FLAIR magnetic resonance.
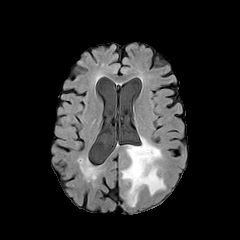
T1-weighted MR image.
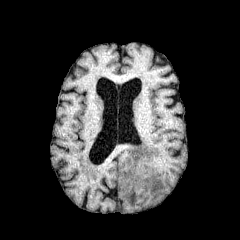
Post-contrast T1-weighted MRI.
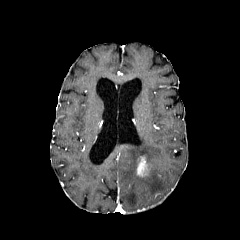
T2-weighted magnetic resonance.
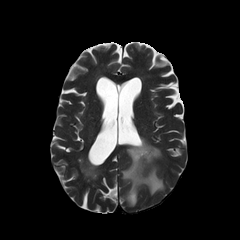
Brain
The peritumoral edema lies within {"x1": 121, "y1": 137, "x2": 165, "y2": 206}. The enhancing tumor is bounded by {"x1": 137, "y1": 156, "x2": 147, "y2": 176}.